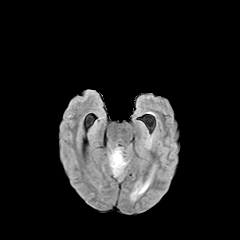
FLAIR MR.
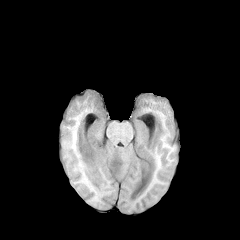
T1-weighted magnetic resonance of the same slice.
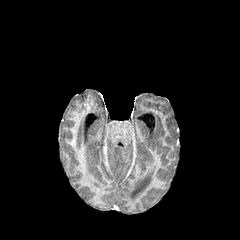
Post-contrast T1-weighted MR image.
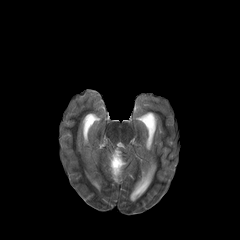
T2-weighted MR image.
Image size 240x240 | Head
peritumoral edema: {"x1": 109, "y1": 148, "x2": 126, "y2": 176}